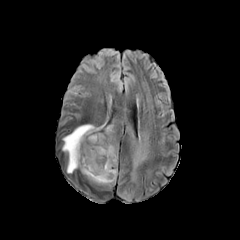
FLAIR MRI.
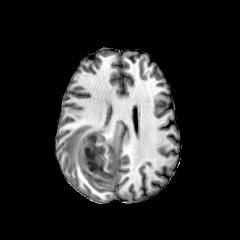
T1-weighted MRI.
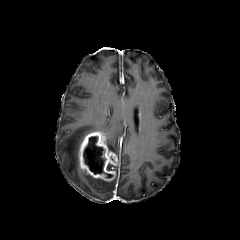
Post-contrast T1-weighted MRI.
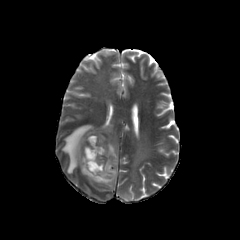
Same slice, T2-weighted MR image.
Brain; Axial plane; Image size 240x240
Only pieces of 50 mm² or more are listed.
peritumoral edema: bounding box (62, 123, 121, 173), (133, 151, 144, 169), (82, 171, 115, 186)
necrotic tumor core: bounding box (83, 136, 105, 174)
enhancing tumor: bounding box (78, 131, 118, 181)